Image width 240 mm, 1.00 mm slice spacing | Slice 71/155
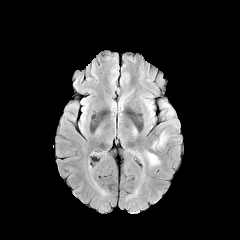
FLAIR MRI.
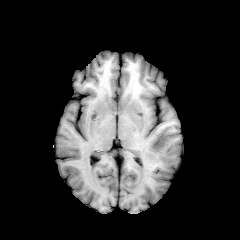
T1-weighted MR.
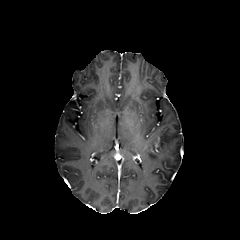
Same slice, post-contrast T1-weighted magnetic resonance.
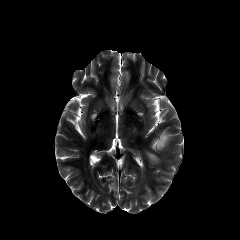
Same slice, T2-weighted MR.
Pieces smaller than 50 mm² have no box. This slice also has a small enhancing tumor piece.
Segmented structures:
* peritumoral edema: [146, 152, 159, 164], [152, 131, 168, 148]